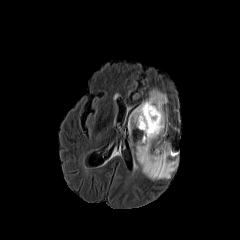
FLAIR MRI.
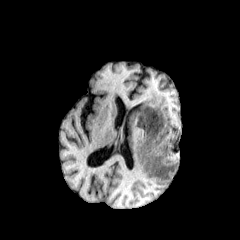
Same slice, T1-weighted magnetic resonance.
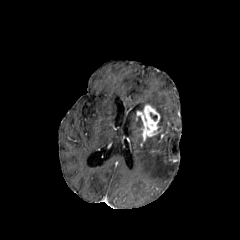
Post-contrast T1-weighted MRI.
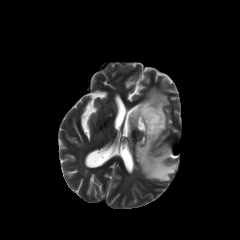
T2-weighted MR image.
Axial plane | 240x240 px | Brain
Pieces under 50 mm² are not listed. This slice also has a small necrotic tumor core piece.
peritumoral edema: (128, 89, 178, 179) | enhancing tumor: (136, 104, 162, 141)